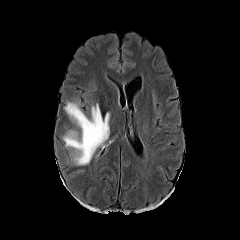
FLAIR MRI.
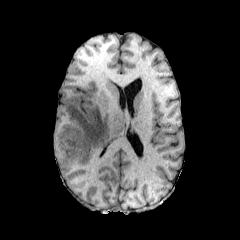
T1-weighted MR image of the same slice.
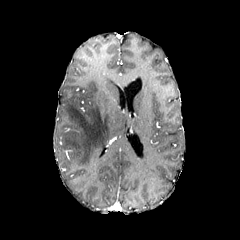
Post-contrast T1-weighted MR of the same slice.
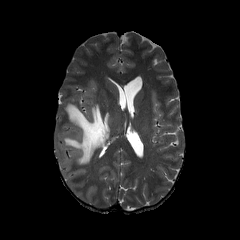
T2-weighted magnetic resonance.
Findings:
• peritumoral edema: region(63, 102, 111, 165)